FLAIR magnetic resonance.
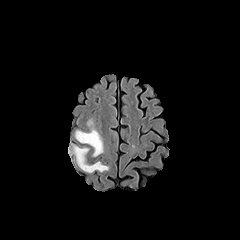
T1-weighted MR image.
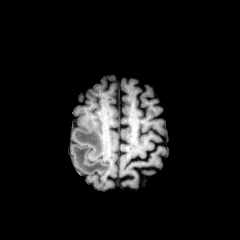
Post-contrast T1-weighted MR.
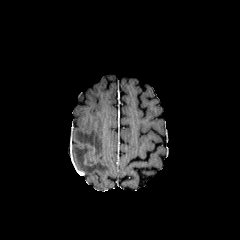
T2-weighted MRI.
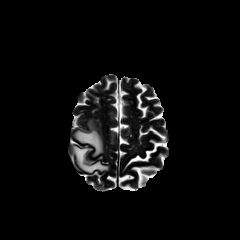
Head
peritumoral edema = x1=73 y1=145 x2=108 y2=172, x1=74 y1=120 x2=103 y2=156